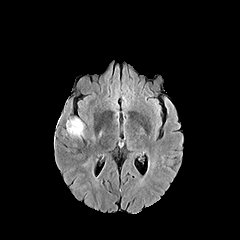
FLAIR MR image.
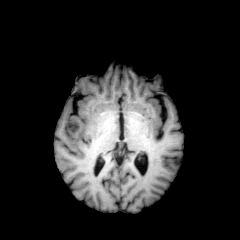
T1-weighted MR image of the same slice.
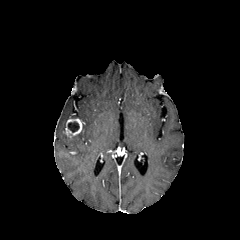
Post-contrast T1-weighted MRI.
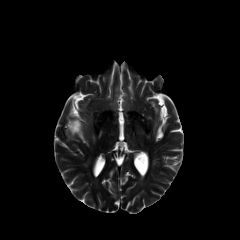
T2-weighted MR image of the same slice.
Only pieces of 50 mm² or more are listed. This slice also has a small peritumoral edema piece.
enhancing tumor = (x1=65, y1=118, x2=82, y2=137)
necrotic tumor core = (x1=68, y1=122, x2=79, y2=132)